Brain
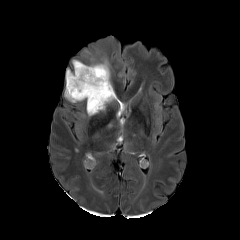
FLAIR MR.
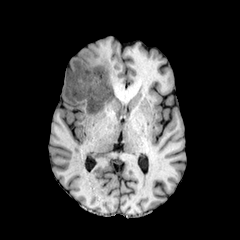
T1-weighted MRI of the same slice.
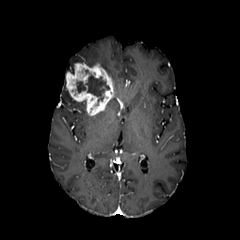
Post-contrast T1-weighted magnetic resonance.
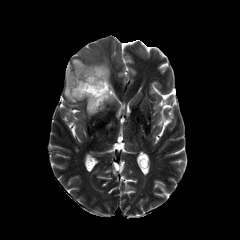
T2-weighted MRI of the same slice.
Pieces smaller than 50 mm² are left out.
{"enhancing_tumor": [{"x1": 66, "y1": 63, "x2": 121, "y2": 115}], "necrotic_tumor_core": [{"x1": 85, "y1": 75, "x2": 109, "y2": 101}, {"x1": 77, "y1": 81, "x2": 85, "y2": 92}], "peritumoral_edema": [{"x1": 64, "y1": 88, "x2": 76, "y2": 102}, {"x1": 99, "y1": 59, "x2": 110, "y2": 76}]}